Image width 240 mm, 1.00 mm slice spacing; Axial slice; Image size 240x240
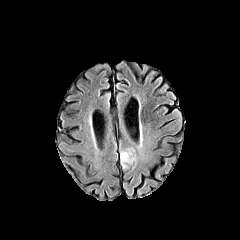
FLAIR magnetic resonance.
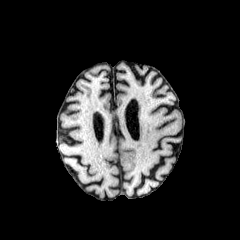
Same slice, T1-weighted MRI.
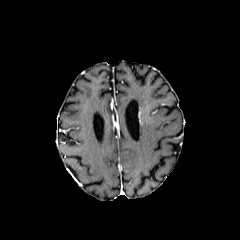
Same slice, post-contrast T1-weighted magnetic resonance.
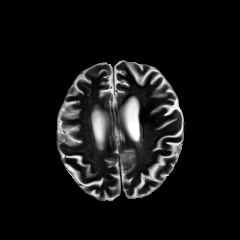
T2-weighted MR.
The peritumoral edema is located at {"x1": 120, "y1": 149, "x2": 135, "y2": 167}.